240x240 | Head | Image covers 240 mm x 240 mm
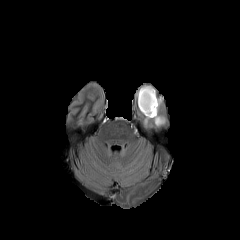
FLAIR MR image.
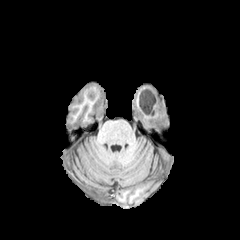
Same slice, T1-weighted MRI.
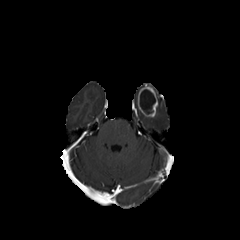
Post-contrast T1-weighted magnetic resonance.
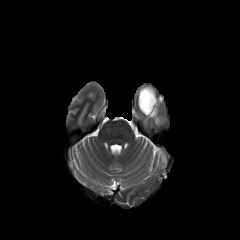
Same slice, T2-weighted MRI.
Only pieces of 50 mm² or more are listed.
The largest peritumoral edema region is located at l=144, t=96, r=165, b=126. The necrotic tumor core lies within l=140, t=89, r=155, b=113. The enhancing tumor lies within l=138, t=84, r=158, b=117.